Slice 111 of 155, Axial view, Image size 240x240
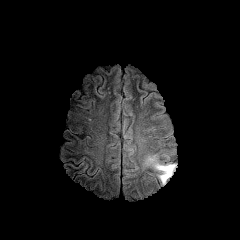
FLAIR magnetic resonance.
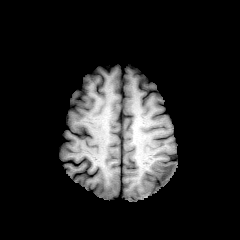
T1-weighted MRI.
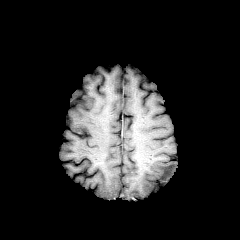
Same slice, post-contrast T1-weighted MRI.
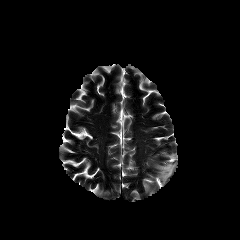
T2-weighted MRI of the same slice.
- peritumoral edema: (155,164,175,183)